Image size 240x240
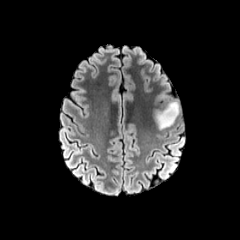
FLAIR MRI.
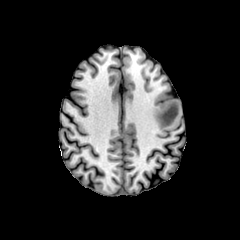
T1-weighted MRI.
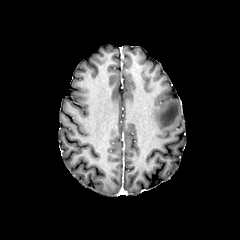
Same slice, post-contrast T1-weighted MRI.
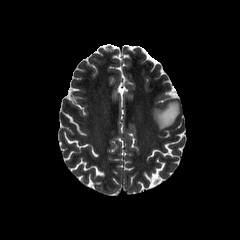
T2-weighted MRI.
The peritumoral edema lies within left=154, top=101, right=179, bottom=129.